FLAIR MR image.
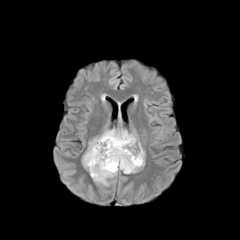
T1-weighted MRI.
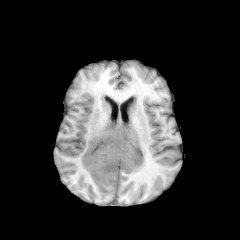
Post-contrast T1-weighted MR.
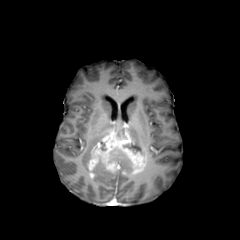
T2-weighted MR image.
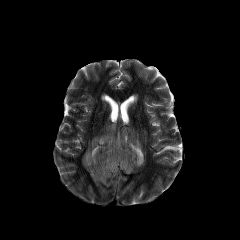
Head; Axial view
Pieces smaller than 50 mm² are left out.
enhancing tumor: bounding box <box>88,130,146,177</box>
peritumoral edema: bounding box <box>92,159,117,186</box>, <box>82,130,111,171</box>, <box>113,129,125,136</box>
necrotic tumor core: bounding box <box>112,152,133,171</box>, <box>123,139,144,157</box>